FLAIR MR.
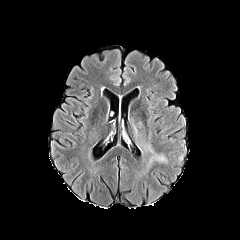
T1-weighted MR image.
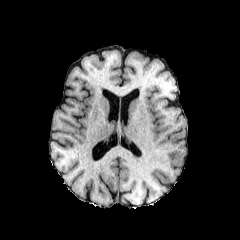
Post-contrast T1-weighted MR.
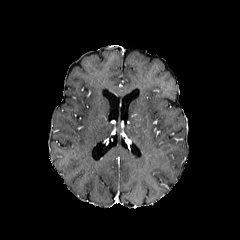
T2-weighted MR image.
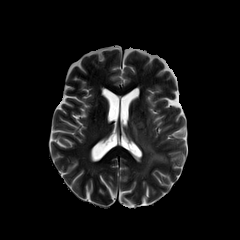
Head
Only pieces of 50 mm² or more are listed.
The 2 largest peritumoral edema regions are located at [x1=147, y1=155, x2=167, y2=167], [x1=130, y1=117, x2=137, y2=135].